FLAIR MR.
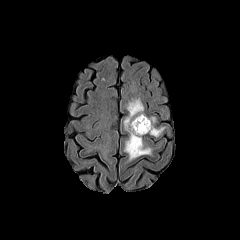
T1-weighted magnetic resonance.
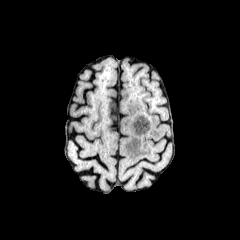
Post-contrast T1-weighted MR.
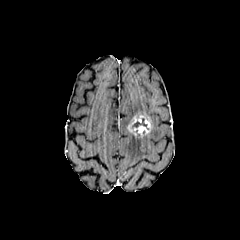
T2-weighted magnetic resonance.
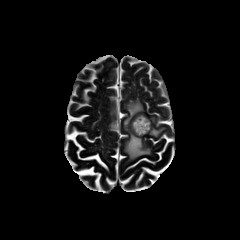
Axial slice; 240x240 px
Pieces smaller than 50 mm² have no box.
The largest necrotic tumor core region is located at 132 118 146 127. The enhancing tumor is located at 127 114 152 137. The 3 largest peritumoral edema regions appear at 124 99 144 130, 124 133 151 160, 149 126 164 136.